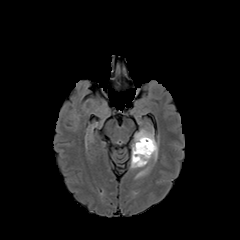
FLAIR MRI.
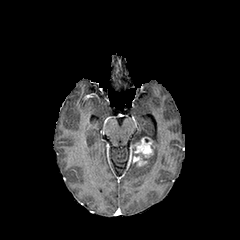
T1-weighted magnetic resonance.
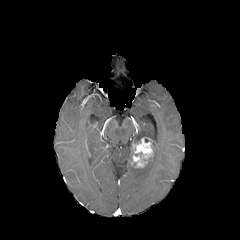
Same slice, post-contrast T1-weighted MR image.
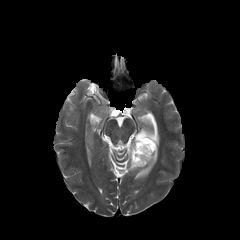
Same slice, T2-weighted MR image.
Brain; 240x240
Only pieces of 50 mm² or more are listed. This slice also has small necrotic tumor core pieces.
enhancing tumor: 131, 137, 154, 167
peritumoral edema: 132, 128, 158, 178